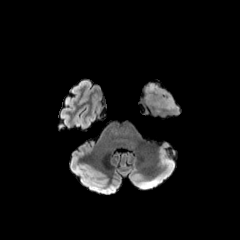
FLAIR MR.
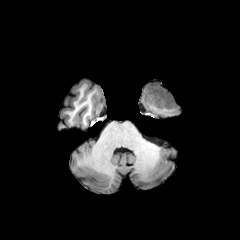
T1-weighted MR.
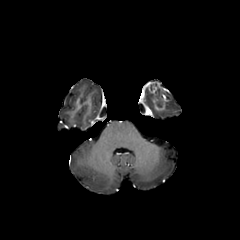
Post-contrast T1-weighted magnetic resonance.
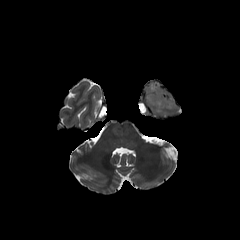
T2-weighted magnetic resonance.
240x240 | Head | Axial view
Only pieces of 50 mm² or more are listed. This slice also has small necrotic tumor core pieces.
The 2 largest peritumoral edema regions appear at x1=144 y1=89 x2=156 y2=110, x1=165 y1=93 x2=176 y2=109. The enhancing tumor appears at x1=144 y1=82 x2=167 y2=110.